FLAIR MR.
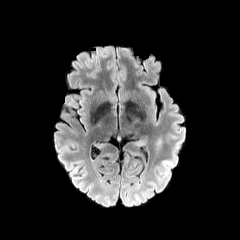
T1-weighted MR.
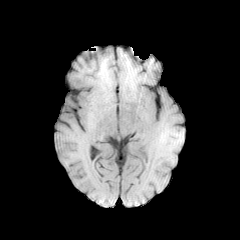
Post-contrast T1-weighted MR.
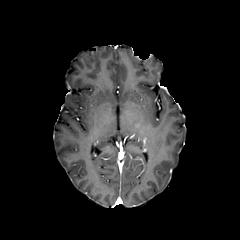
T2-weighted magnetic resonance.
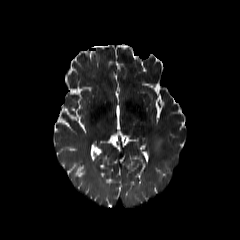
Axial view. Brain.
The peritumoral edema appears at <box>155,138,162,149</box>.